FLAIR MR image.
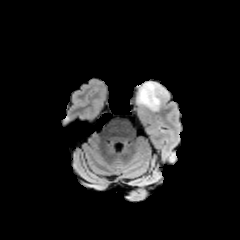
T1-weighted MR.
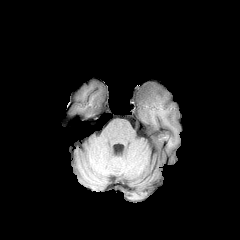
Post-contrast T1-weighted MRI.
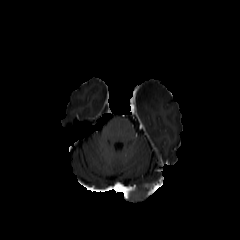
T2-weighted MR image.
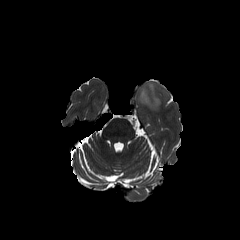
peritumoral edema at bbox=[137, 83, 166, 110]